Image width 240 mm, Image size 240x240, Slice 92/155, Head
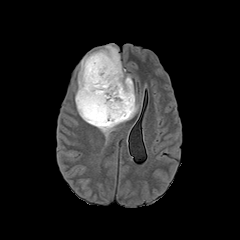
FLAIR MRI.
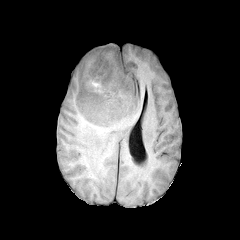
T1-weighted MRI.
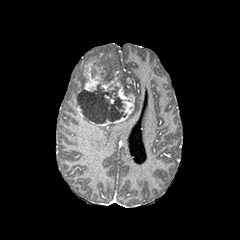
Same slice, post-contrast T1-weighted MR image.
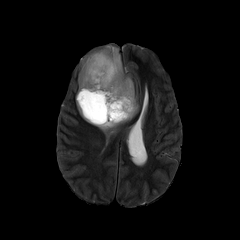
T2-weighted MR image.
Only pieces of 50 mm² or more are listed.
Segmented structures:
- peritumoral edema: (91,66,97,77), (75,44,139,136)
- necrotic tumor core: (78,86,126,123)
- enhancing tumor: (97,77,134,125), (77,60,102,103)